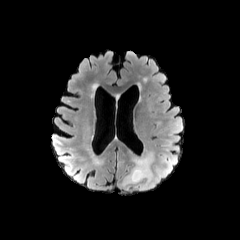
FLAIR MR image.
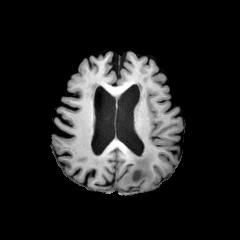
Same slice, T1-weighted MRI.
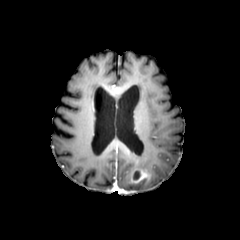
Same slice, post-contrast T1-weighted magnetic resonance.
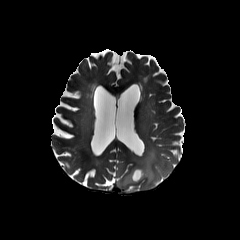
T2-weighted MRI.
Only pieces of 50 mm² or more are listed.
necrotic tumor core = bbox=[133, 171, 140, 179]
enhancing tumor = bbox=[121, 167, 150, 187]
peritumoral edema = bbox=[117, 149, 159, 192]